240x240. Image covers 240 mm x 240 mm.
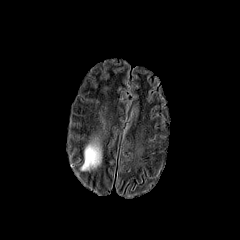
FLAIR MR image.
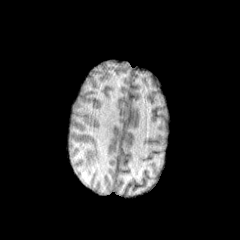
T1-weighted MR of the same slice.
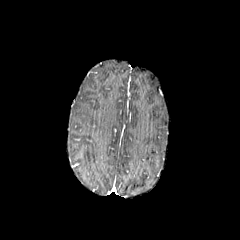
Post-contrast T1-weighted MR image.
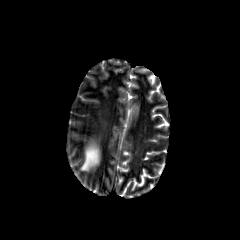
T2-weighted MR.
{
  "peritumoral_edema": [
    "80 142 101 170"
  ]
}